FLAIR MRI.
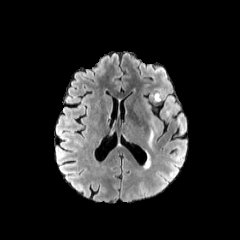
T1-weighted MR.
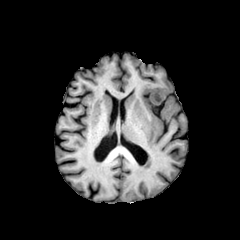
Post-contrast T1-weighted MRI.
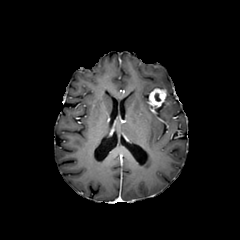
T2-weighted MRI.
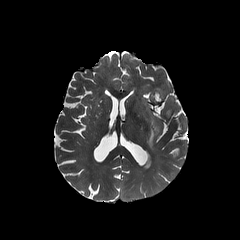
Brain
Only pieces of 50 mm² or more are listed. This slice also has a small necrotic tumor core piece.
The enhancing tumor is bounded by 149:88:166:106. The 3 largest peritumoral edema regions are bounded by 142:153:150:169, 166:104:178:117, 148:119:156:149.